FLAIR MRI.
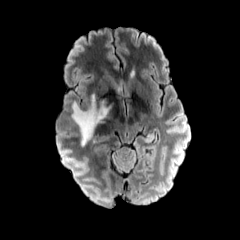
T1-weighted MRI.
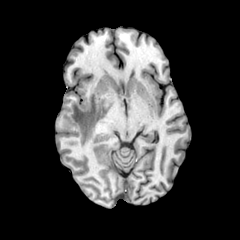
Post-contrast T1-weighted magnetic resonance.
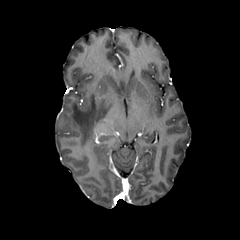
T2-weighted MR image.
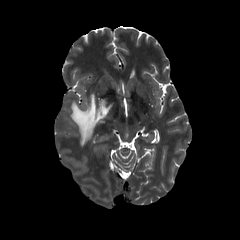
Head | Axial slice
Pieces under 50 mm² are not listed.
Annotated regions:
* peritumoral edema: {"x1": 71, "y1": 94, "x2": 113, "y2": 145}